Brain; Slice index 121
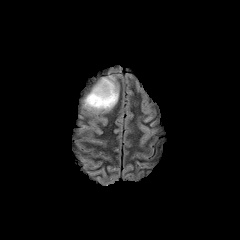
FLAIR MR image.
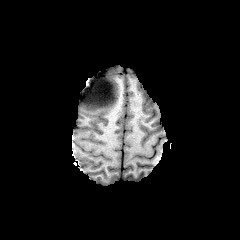
T1-weighted magnetic resonance of the same slice.
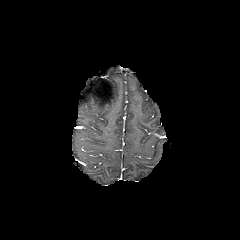
Same slice, post-contrast T1-weighted MRI.
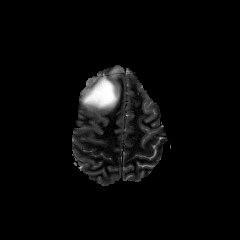
T2-weighted MR image.
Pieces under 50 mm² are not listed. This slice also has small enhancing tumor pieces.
necrotic tumor core: box=[90, 78, 113, 105]
peritumoral edema: box=[82, 74, 119, 113]